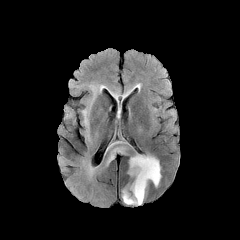
FLAIR magnetic resonance.
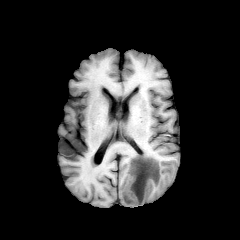
Same slice, T1-weighted MRI.
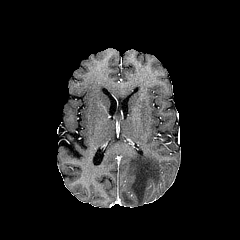
Post-contrast T1-weighted MRI.
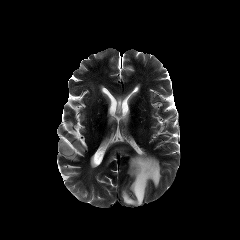
T2-weighted magnetic resonance.
Head
peritumoral edema — <box>122,154,161,205</box>, <box>81,110,87,121</box>, <box>105,147,130,165</box>